FLAIR MR image.
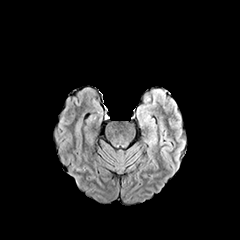
T1-weighted MR image.
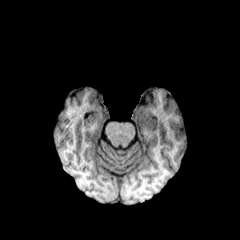
Post-contrast T1-weighted MR.
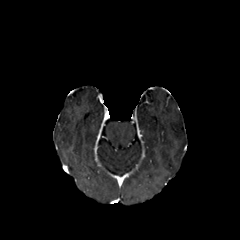
T2-weighted MR.
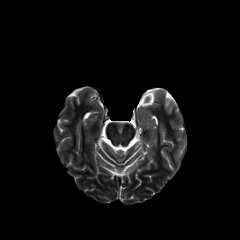
{
  "peritumoral_edema": [
    "148, 125, 156, 144"
  ]
}